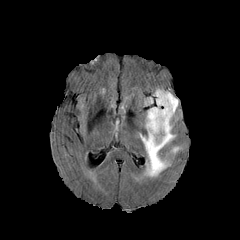
FLAIR MR.
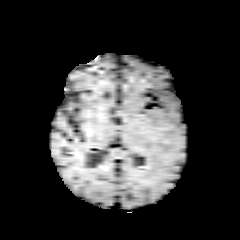
T1-weighted magnetic resonance.
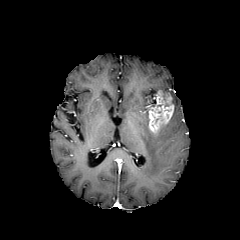
Same slice, post-contrast T1-weighted magnetic resonance.
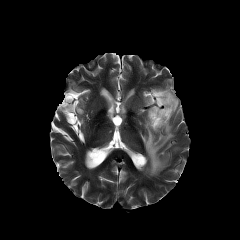
T2-weighted MRI.
Brain, Axial slice
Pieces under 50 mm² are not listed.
peritumoral edema at 140:94:178:176, 144:97:153:104
enhancing tumor at 149:90:174:133